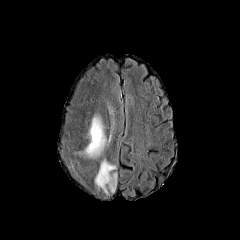
FLAIR magnetic resonance.
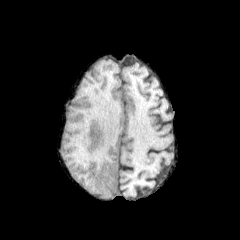
T1-weighted MR image.
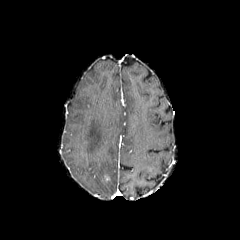
Same slice, post-contrast T1-weighted MR.
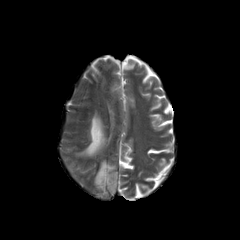
Same slice, T2-weighted MR.
Axial slice
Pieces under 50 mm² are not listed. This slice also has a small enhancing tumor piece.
peritumoral edema — [x1=76, y1=114, x2=106, y2=159], [x1=94, y1=159, x2=117, y2=194]